240x240 px; Axial slice; Image width 240 mm; Head
FLAIR MR image.
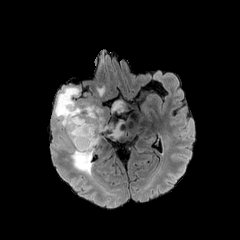
T1-weighted magnetic resonance.
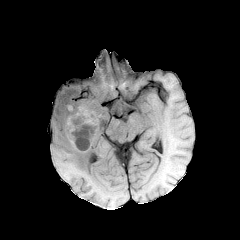
Post-contrast T1-weighted MR image.
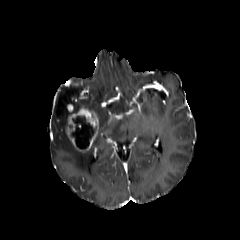
T2-weighted MRI.
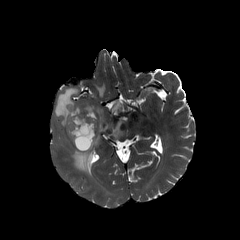
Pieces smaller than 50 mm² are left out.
Segmented structures:
• necrotic tumor core: bbox=[71, 116, 96, 148]
• peritumoral edema: bbox=[97, 86, 104, 96]; bbox=[111, 100, 124, 113]; bbox=[71, 135, 99, 176]; bbox=[54, 87, 124, 140]
• enhancing tumor: bbox=[67, 104, 98, 150]